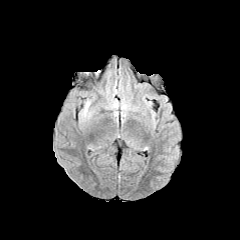
FLAIR MR.
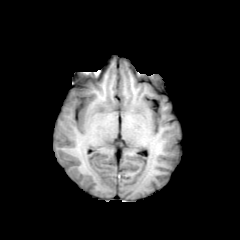
Same slice, T1-weighted magnetic resonance.
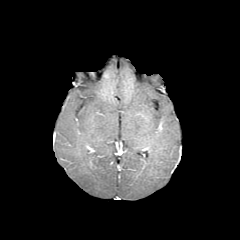
Post-contrast T1-weighted MR.
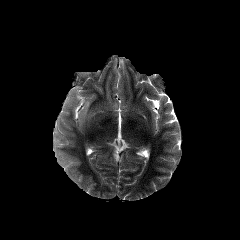
Same slice, T2-weighted MR image.
Brain.
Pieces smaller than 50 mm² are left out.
Annotated regions:
* peritumoral edema: (82,101,89,116)